Slice index 121
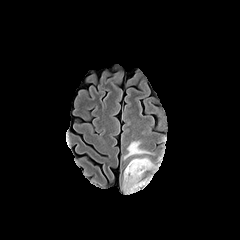
FLAIR magnetic resonance.
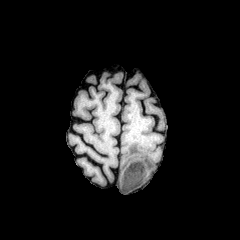
T1-weighted MR image of the same slice.
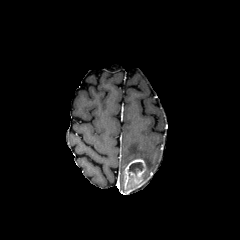
Post-contrast T1-weighted magnetic resonance.
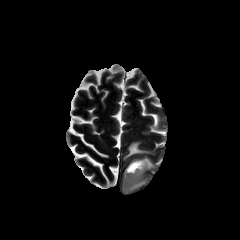
T2-weighted magnetic resonance.
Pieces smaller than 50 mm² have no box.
The enhancing tumor appears at x1=122 y1=159 x2=148 y2=194. 2 peritumoral edema regions are bounded by x1=123 y1=141 x2=151 y2=159, x1=142 y1=156 x2=155 y2=169. The largest necrotic tumor core region appears at x1=128 y1=162 x2=143 y2=173.